Head; Axial view; Slice index 73
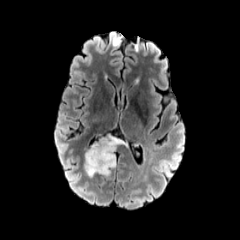
FLAIR MR.
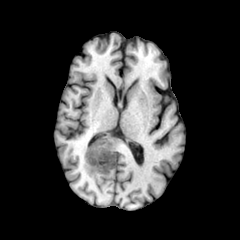
T1-weighted magnetic resonance of the same slice.
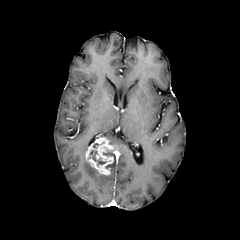
Post-contrast T1-weighted magnetic resonance.
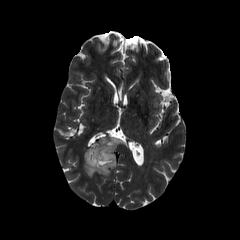
T2-weighted MR.
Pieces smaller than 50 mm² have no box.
enhancing tumor at rect(85, 137, 116, 175)
necrotic tumor core at rect(89, 150, 106, 165)
peritumoral edema at rect(84, 159, 101, 176); rect(107, 135, 121, 149)